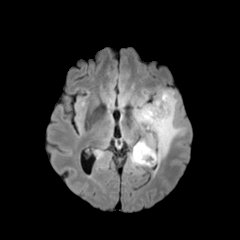
FLAIR magnetic resonance.
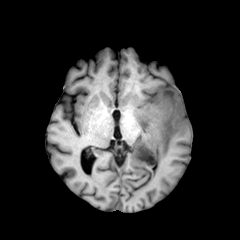
Same slice, T1-weighted MRI.
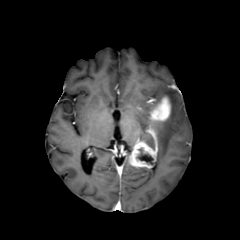
Post-contrast T1-weighted MR.
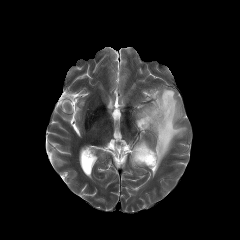
Same slice, T2-weighted MR image.
Brain, Image size 240x240
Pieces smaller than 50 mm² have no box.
peritumoral edema = region(134, 89, 185, 165)
necrotic tumor core = region(137, 149, 153, 164)
enhancing tumor = region(149, 96, 170, 121); region(129, 140, 157, 168)